Axial view | Slice index 95 | Image width 240 mm, 1.00 mm slice spacing | Brain
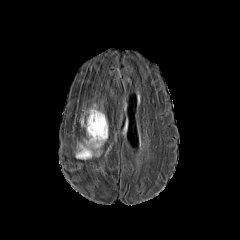
FLAIR MR.
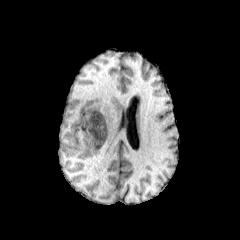
T1-weighted MR image of the same slice.
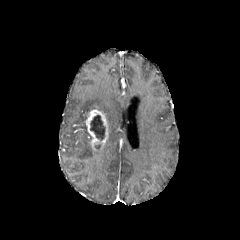
Same slice, post-contrast T1-weighted MR.
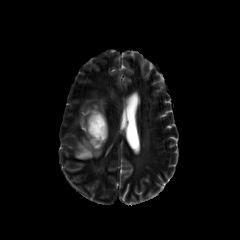
Same slice, T2-weighted magnetic resonance.
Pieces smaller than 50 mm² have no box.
necrotic tumor core — x1=90 y1=115 x2=105 y2=140
enhancing tumor — x1=84 y1=106 x2=108 y2=150
peritumoral edema — x1=76 y1=137 x2=101 y2=159